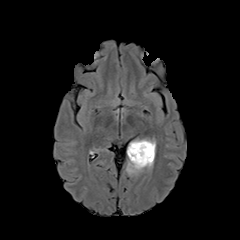
FLAIR magnetic resonance.
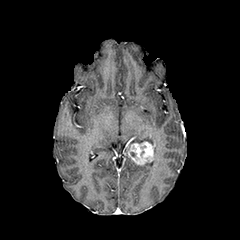
T1-weighted MR.
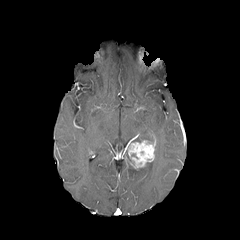
Post-contrast T1-weighted MR.
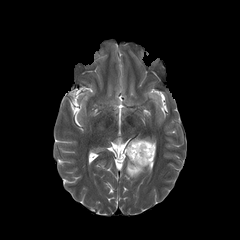
T2-weighted MR.
Head | Axial view
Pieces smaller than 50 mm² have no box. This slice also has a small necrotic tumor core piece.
peritumoral_edema:
  - [x1=126, y1=161, x2=138, y2=176]
  - [x1=139, y1=161, x2=153, y2=171]
enhancing_tumor:
  - [x1=128, y1=140, x2=155, y2=168]